Axial slice; Slice 50 of 155; Image covers 240 mm x 240 mm
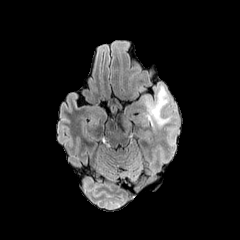
FLAIR MR image.
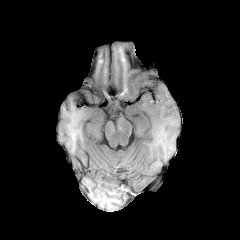
Same slice, T1-weighted magnetic resonance.
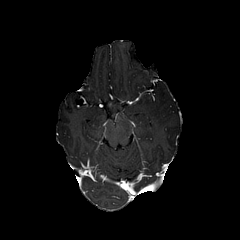
Post-contrast T1-weighted MRI.
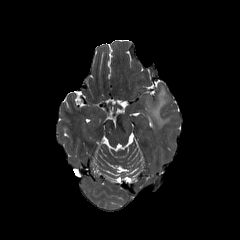
Same slice, T2-weighted MR image.
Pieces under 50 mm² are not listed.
peritumoral_edema:
  - l=145, t=86, r=169, b=127
  - l=122, t=116, r=131, b=129